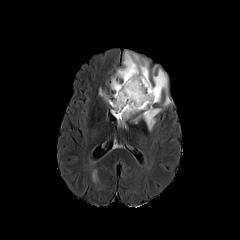
FLAIR MR.
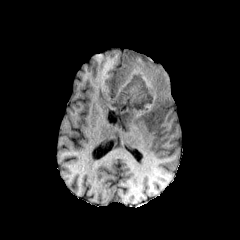
T1-weighted MR.
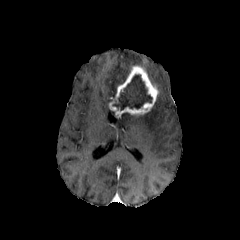
Post-contrast T1-weighted magnetic resonance.
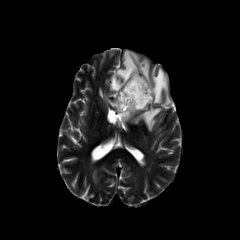
Same slice, T2-weighted magnetic resonance.
Axial view, Head, 240x240
The enhancing tumor appears at [109,65,159,114]. 4 peritumoral edema regions appear at [99,90,112,103], [121,113,132,123], [110,51,172,106], [132,107,161,130]. The necrotic tumor core is at [113,75,152,110].